Brain; Image covers 240 mm x 240 mm
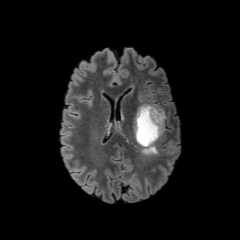
FLAIR MR.
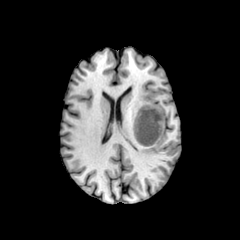
T1-weighted magnetic resonance.
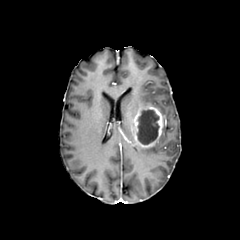
Post-contrast T1-weighted MRI.
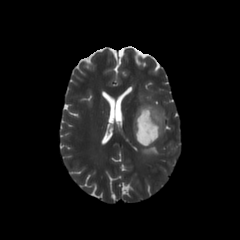
T2-weighted MR image of the same slice.
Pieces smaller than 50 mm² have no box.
The 2 largest peritumoral edema regions are located at bbox=[138, 89, 167, 122]; bbox=[142, 144, 158, 155]. The necrotic tumor core is bounded by bbox=[137, 109, 159, 144]. The enhancing tumor is located at bbox=[132, 105, 165, 147].